Axial slice. 240x240 px. Slice 93/155.
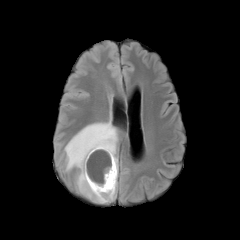
FLAIR MR.
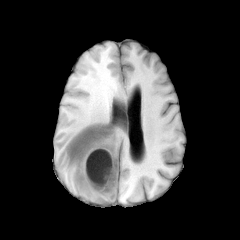
T1-weighted MR.
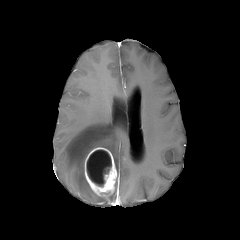
Same slice, post-contrast T1-weighted magnetic resonance.
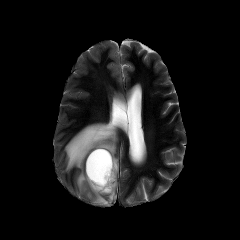
T2-weighted MR.
<segmentation>
  <necrotic_tumor_core>region(87, 150, 111, 186)</necrotic_tumor_core>
  <enhancing_tumor>region(85, 147, 117, 195)</enhancing_tumor>
  <peritumoral_edema>region(64, 120, 118, 203)</peritumoral_edema>
</segmentation>